FLAIR MR.
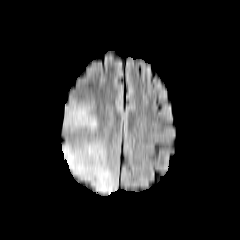
T1-weighted magnetic resonance.
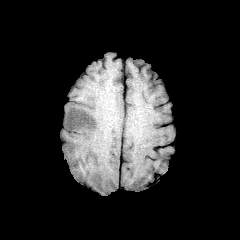
Post-contrast T1-weighted magnetic resonance.
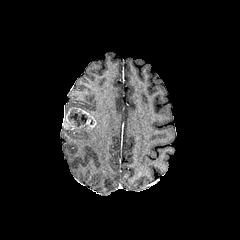
T2-weighted magnetic resonance.
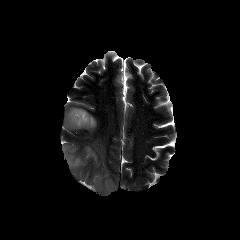
Head
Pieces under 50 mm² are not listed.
enhancing tumor: box=[63, 107, 96, 129] | necrotic tumor core: box=[68, 109, 87, 126] | peritumoral edema: box=[64, 103, 89, 115]; box=[62, 140, 117, 194]; box=[66, 122, 97, 132]